FLAIR MR image.
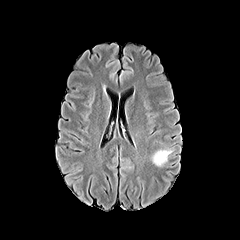
T1-weighted MR.
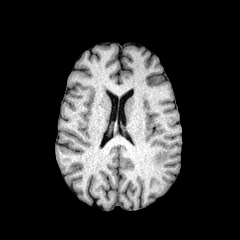
Post-contrast T1-weighted magnetic resonance.
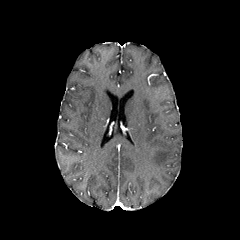
T2-weighted MR.
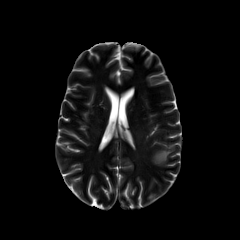
Segmented structures:
* peritumoral edema: (x1=152, y1=150, x2=171, y2=166)